FLAIR MR image.
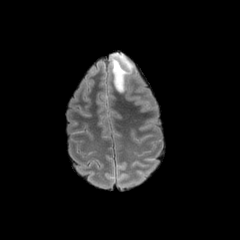
T1-weighted MRI.
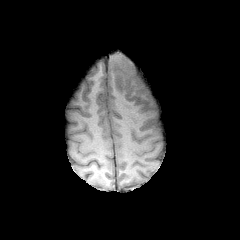
Post-contrast T1-weighted MRI.
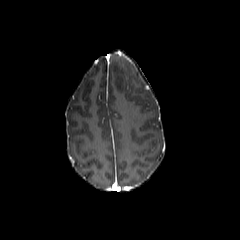
T2-weighted MRI.
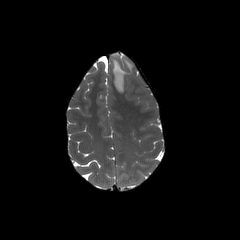
240x240 px | Axial slice
{"peritumoral_edema": ["112, 54, 132, 92"]}